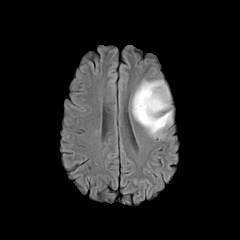
FLAIR magnetic resonance.
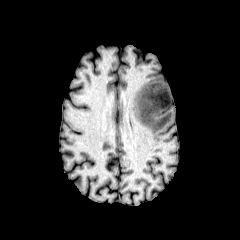
T1-weighted MR of the same slice.
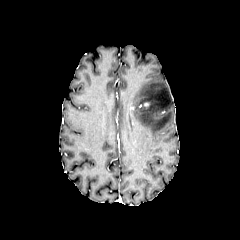
Post-contrast T1-weighted MR image of the same slice.
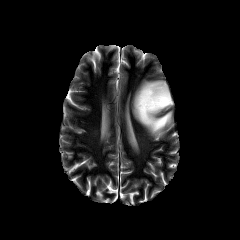
T2-weighted MR image.
Axial slice | Brain
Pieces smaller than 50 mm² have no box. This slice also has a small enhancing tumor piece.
The peritumoral edema appears at 132, 80, 172, 138.